Head; 240x240 px; Axial slice
FLAIR magnetic resonance.
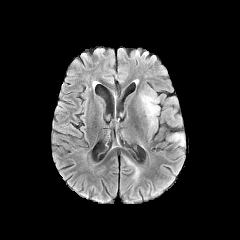
T1-weighted MRI.
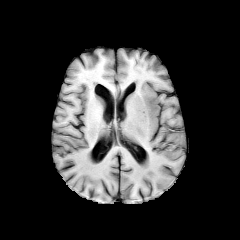
Post-contrast T1-weighted MR image.
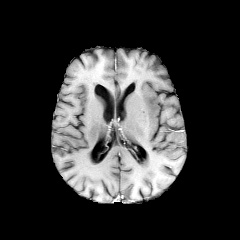
T2-weighted MR.
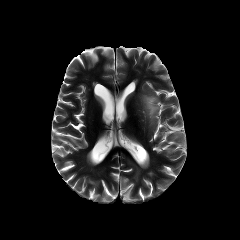
peritumoral edema at [138, 86, 160, 129], [173, 133, 185, 146]